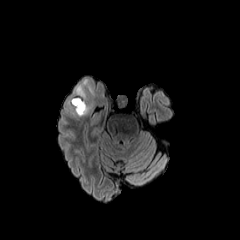
FLAIR magnetic resonance.
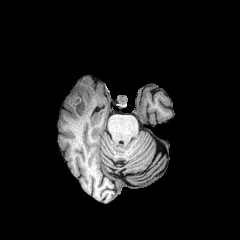
Same slice, T1-weighted MRI.
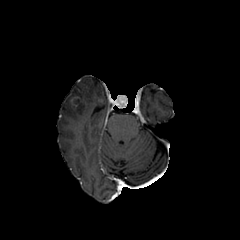
Post-contrast T1-weighted magnetic resonance.
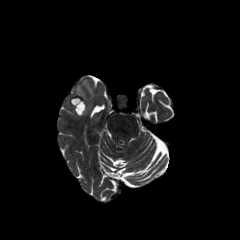
Same slice, T2-weighted MRI.
Brain. Axial slice.
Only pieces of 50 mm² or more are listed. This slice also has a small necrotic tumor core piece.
peritumoral edema at (74,79,94,116)
enhancing tumor at (71,96,81,106)